FLAIR MR image.
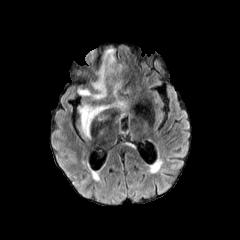
T1-weighted MRI.
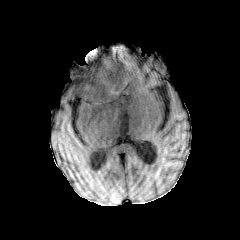
Post-contrast T1-weighted MRI.
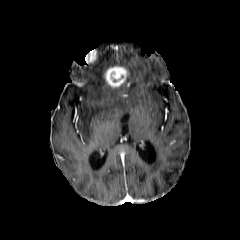
T2-weighted MR image.
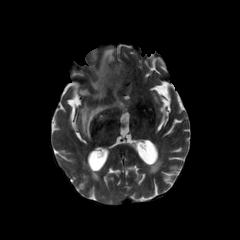
Head; Axial slice
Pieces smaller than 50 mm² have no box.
peritumoral edema at [79, 101, 123, 136], [78, 48, 119, 99]
enhancing tumor at [104, 66, 128, 89]